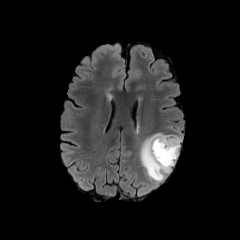
FLAIR MR image.
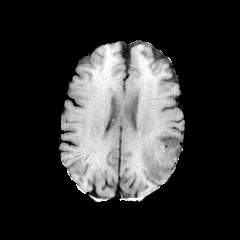
T1-weighted MRI of the same slice.
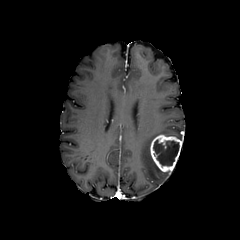
Post-contrast T1-weighted magnetic resonance.
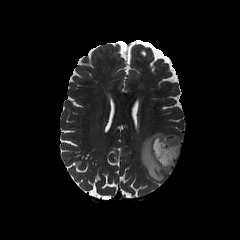
Same slice, T2-weighted MRI.
Axial slice. Brain.
<segmentation>
  <necrotic_tumor_core>153, 139, 179, 165</necrotic_tumor_core>
  <enhancing_tumor>150, 135, 181, 172</enhancing_tumor>
  <peritumoral_edema>139, 133, 182, 182</peritumoral_edema>
</segmentation>